Head. Image covers 240 mm x 240 mm. Axial plane.
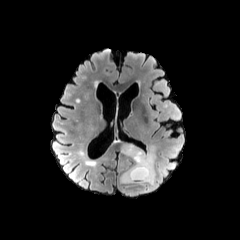
FLAIR MR.
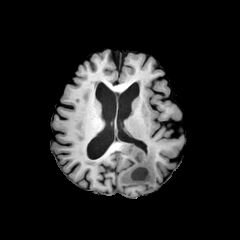
T1-weighted MR image.
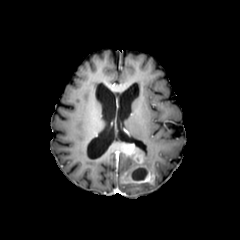
Post-contrast T1-weighted MR image.
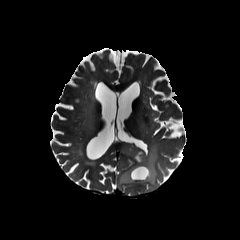
T2-weighted magnetic resonance.
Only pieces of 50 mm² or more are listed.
{
  "peritumoral_edema": [
    "119, 144, 160, 195"
  ],
  "enhancing_tumor": [
    "119, 142, 154, 184"
  ],
  "necrotic_tumor_core": [
    "131, 167, 147, 180"
  ]
}